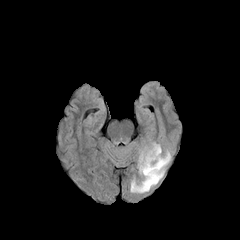
FLAIR magnetic resonance.
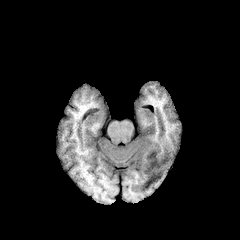
T1-weighted magnetic resonance.
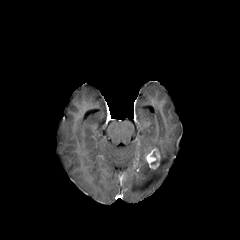
Post-contrast T1-weighted MR of the same slice.
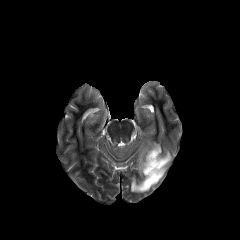
T2-weighted MRI.
Head
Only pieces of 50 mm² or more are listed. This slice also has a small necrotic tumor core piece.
enhancing tumor — bbox=[145, 148, 160, 169]
peritumoral edema — bbox=[130, 139, 173, 193]